Image covers 240 mm x 240 mm | Head | 240x240
FLAIR MR image.
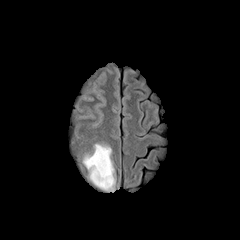
T1-weighted MRI.
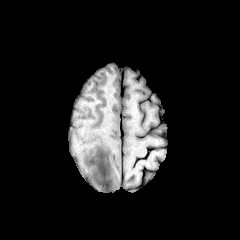
Post-contrast T1-weighted MRI.
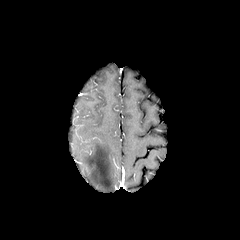
T2-weighted MR.
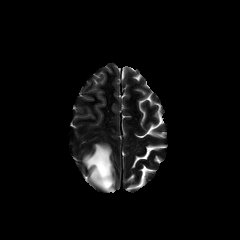
peritumoral edema: <box>83,143,115,191</box>